Head
FLAIR MRI.
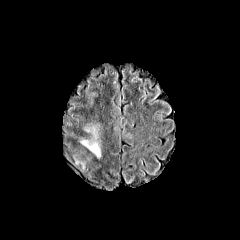
T1-weighted MR.
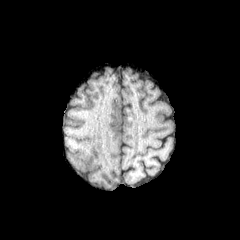
Post-contrast T1-weighted magnetic resonance.
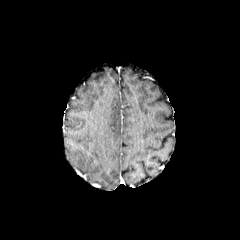
T2-weighted MR image.
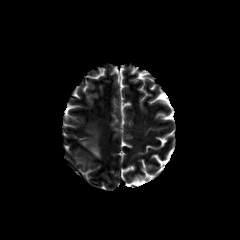
peritumoral edema — x1=73 y1=154 x2=85 y2=168, x1=79 y1=122 x2=100 y2=158